FLAIR MR.
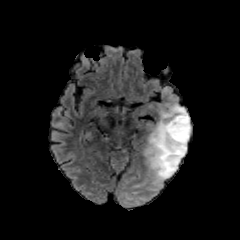
T1-weighted MR image.
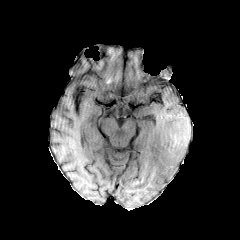
Post-contrast T1-weighted MR.
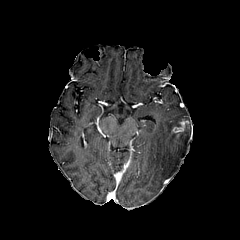
T2-weighted MR.
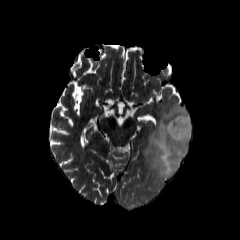
Axial plane. Brain.
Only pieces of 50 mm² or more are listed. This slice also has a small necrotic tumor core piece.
peritumoral_edema:
  - [143,104,191,179]
enhancing_tumor:
  - [171,119,189,134]